Axial slice | Slice 76/155 | Head | Image covers 240 mm x 240 mm
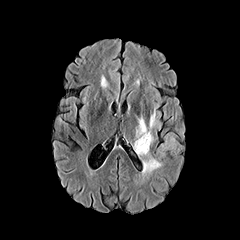
FLAIR magnetic resonance.
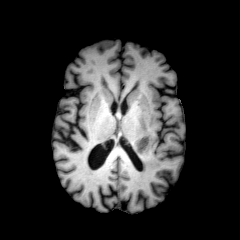
T1-weighted MRI of the same slice.
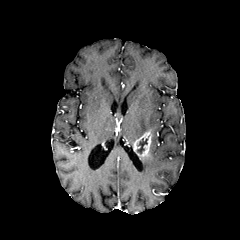
Same slice, post-contrast T1-weighted MR.
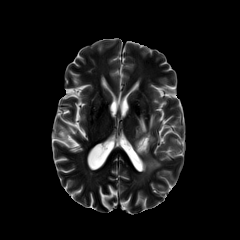
T2-weighted MR image.
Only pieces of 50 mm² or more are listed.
The necrotic tumor core is at (left=137, top=138, right=147, bottom=153). The enhancing tumor is at (left=134, top=132, right=151, bottom=156). The 2 largest peritumoral edema regions are located at (left=136, top=113, right=155, bottom=138), (left=143, top=155, right=161, bottom=172).